Head; 240x240 px
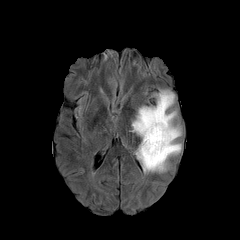
FLAIR MR.
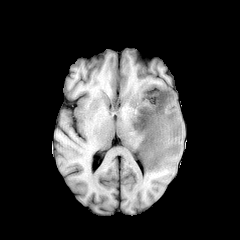
T1-weighted magnetic resonance.
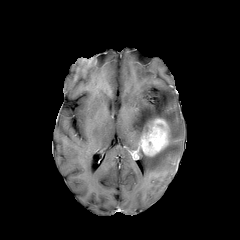
Same slice, post-contrast T1-weighted MR.
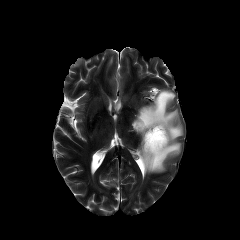
T2-weighted MR image of the same slice.
Findings:
• enhancing tumor: [135, 118, 169, 157]
• peritumoral edema: [131, 89, 182, 172]